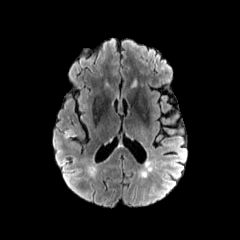
FLAIR MRI.
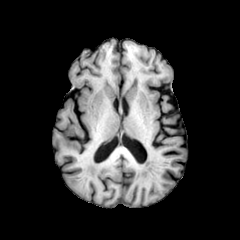
T1-weighted magnetic resonance of the same slice.
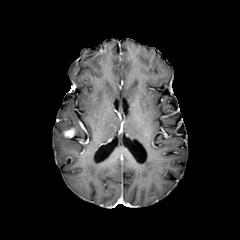
Post-contrast T1-weighted MR image.
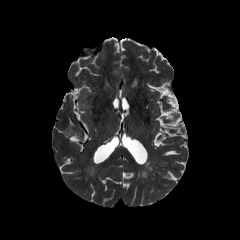
T2-weighted MR of the same slice.
Brain; 240x240 px
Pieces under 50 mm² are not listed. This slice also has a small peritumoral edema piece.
Segmented structures:
* enhancing tumor: x1=64 y1=128 x2=75 y2=137